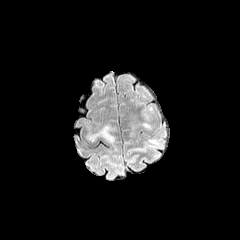
FLAIR MR.
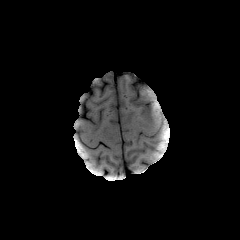
T1-weighted magnetic resonance.
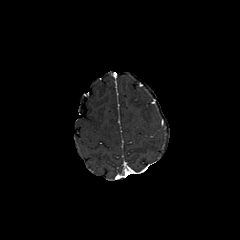
Same slice, post-contrast T1-weighted MR.
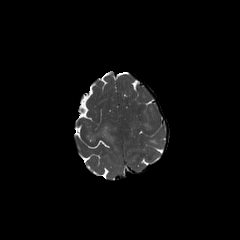
T2-weighted MR of the same slice.
Head, 240x240
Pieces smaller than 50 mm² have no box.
peritumoral edema — (x1=89, y1=126, x2=113, y2=142)